Axial slice, Image size 240x240
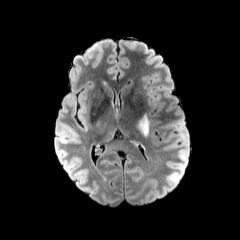
FLAIR MR.
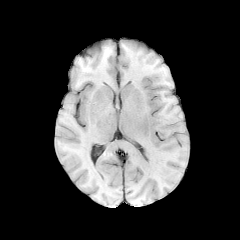
T1-weighted MR image.
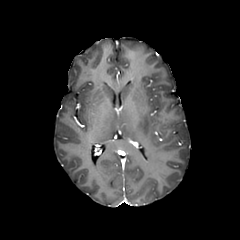
Post-contrast T1-weighted magnetic resonance.
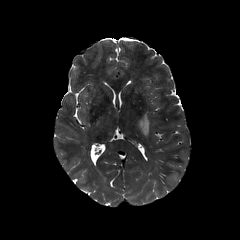
T2-weighted MR image of the same slice.
peritumoral edema: 136,113,149,136